Slice 99 of 155; Brain; Axial view; 240x240
FLAIR MRI.
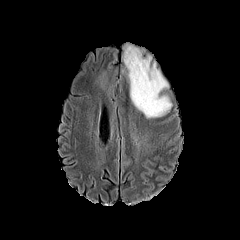
T1-weighted MRI.
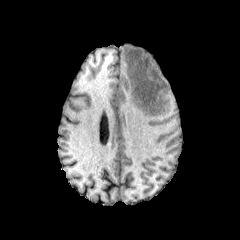
Post-contrast T1-weighted magnetic resonance.
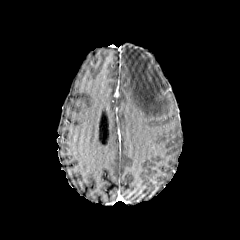
T2-weighted magnetic resonance.
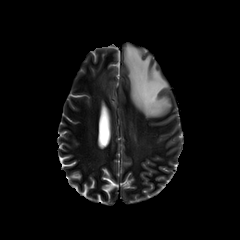
{"peritumoral_edema": ["[122,43,172,118]", "[99,69,108,89]"]}